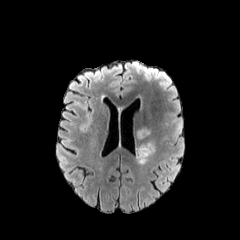
FLAIR MR.
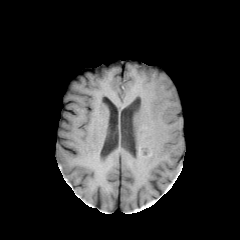
Same slice, T1-weighted MR.
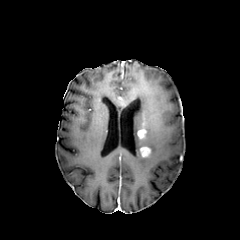
Post-contrast T1-weighted MR image.
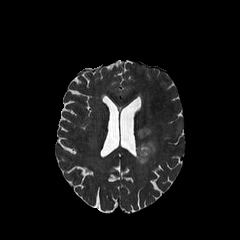
T2-weighted MR image of the same slice.
Brain. 240x240.
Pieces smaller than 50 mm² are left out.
{"peritumoral_edema": ["(136,142,155,164)"], "enhancing_tumor": ["(140,146,150,157)", "(137,129,146,138)"]}